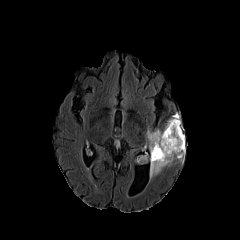
FLAIR magnetic resonance.
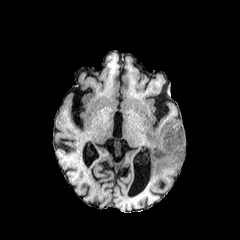
T1-weighted MR of the same slice.
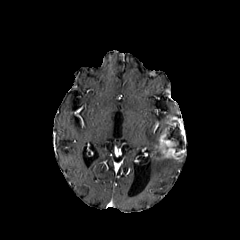
Post-contrast T1-weighted MR image.
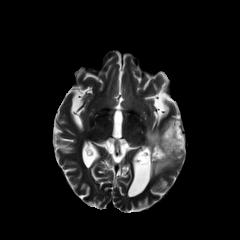
T2-weighted MRI.
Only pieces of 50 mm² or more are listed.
The largest peritumoral edema region is at [146,126,176,178]. The largest necrotic tumor core region is located at [166,124,184,151]. The largest enhancing tumor region lies within [154,116,185,161].